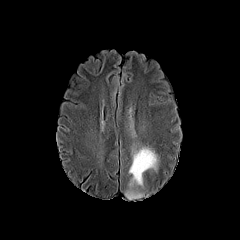
FLAIR MR image.
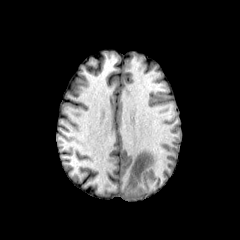
Same slice, T1-weighted MR image.
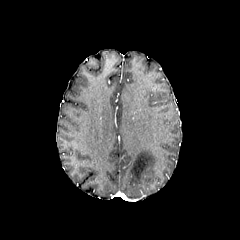
Post-contrast T1-weighted MR of the same slice.
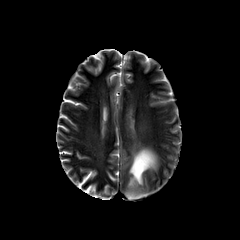
Same slice, T2-weighted MR image.
Brain. Axial slice.
peritumoral edema at l=128, t=146, r=160, b=187; l=124, t=190, r=144, b=199